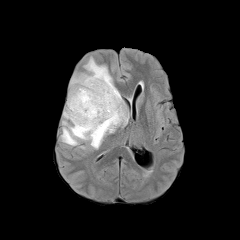
FLAIR magnetic resonance.
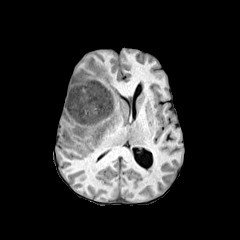
T1-weighted magnetic resonance.
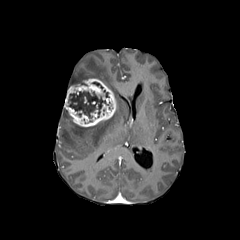
Same slice, post-contrast T1-weighted MR.
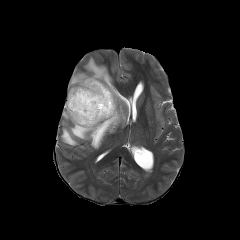
T2-weighted magnetic resonance.
Image size 240x240 | Axial plane
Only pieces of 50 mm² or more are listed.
<segmentation>
  <peritumoral_edema>bbox(61, 57, 127, 148)</peritumoral_edema>
  <necrotic_tumor_core>bbox(68, 91, 108, 118)</necrotic_tumor_core>
  <enhancing_tumor>bbox(64, 78, 116, 127)</enhancing_tumor>
</segmentation>